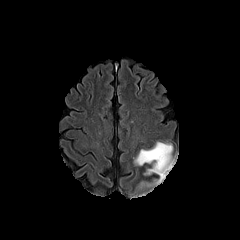
FLAIR MR image.
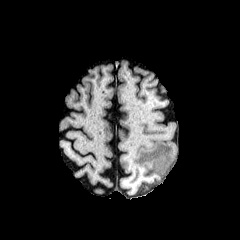
T1-weighted magnetic resonance of the same slice.
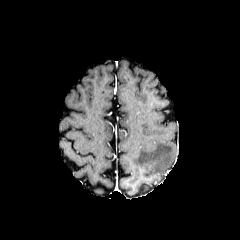
Post-contrast T1-weighted MR.
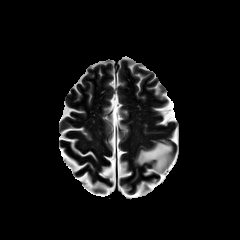
T2-weighted MR.
Axial slice | Head | 240x240 px
peritumoral edema = [134,142,175,183]